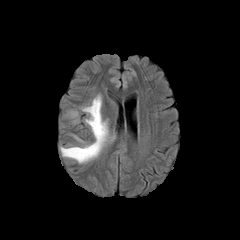
FLAIR MR.
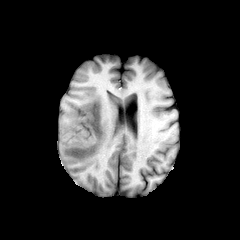
Same slice, T1-weighted MR image.
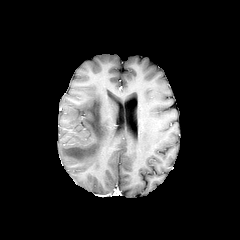
Post-contrast T1-weighted MRI.
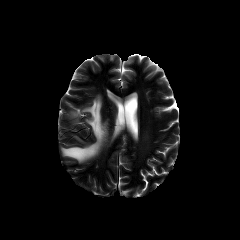
Same slice, T2-weighted MR image.
Brain
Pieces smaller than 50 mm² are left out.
{"peritumoral_edema": ["60, 95, 114, 163", "69, 111, 77, 123"]}